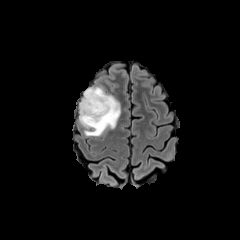
FLAIR MRI.
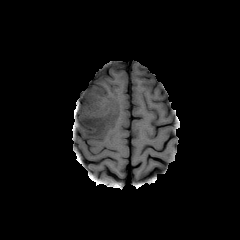
T1-weighted MRI of the same slice.
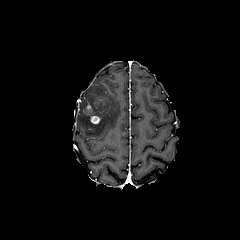
Post-contrast T1-weighted MR.
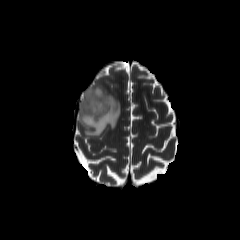
T2-weighted MRI of the same slice.
Axial slice
The enhancing tumor lies within <bbox>85, 99, 100, 124</bbox>. The peritumoral edema is bounded by <bbox>79, 86, 120, 136</bbox>.